Axial slice, Head, Slice index 106
FLAIR MR image.
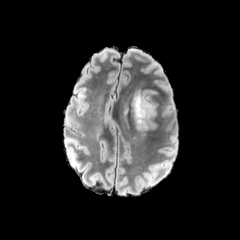
T1-weighted MRI.
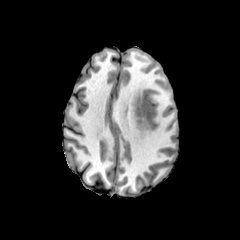
Post-contrast T1-weighted MRI.
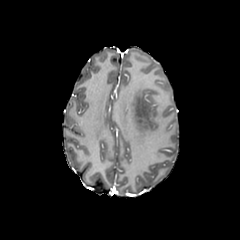
T2-weighted MRI.
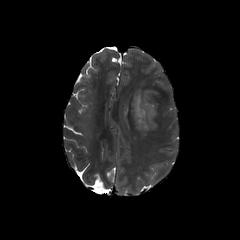
<segmentation>
  <peritumoral_edema>(132, 84, 156, 131)</peritumoral_edema>
</segmentation>